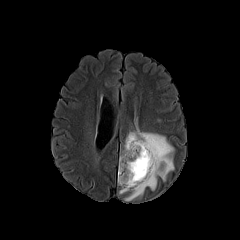
FLAIR MRI.
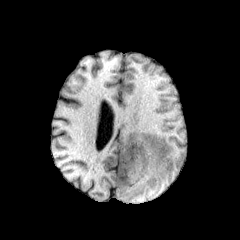
T1-weighted MR image.
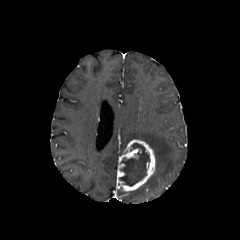
Post-contrast T1-weighted MR image.
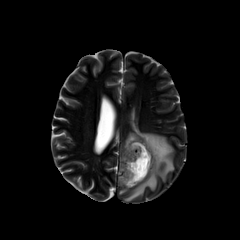
T2-weighted MR.
Image size 240x240; Brain
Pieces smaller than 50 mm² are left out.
Findings:
• necrotic tumor core: [x1=119, y1=143, x2=149, y2=185]
• peritumoral edema: [x1=124, y1=127, x2=174, y2=201]
• enhancing tumor: [x1=117, y1=139, x2=155, y2=191]